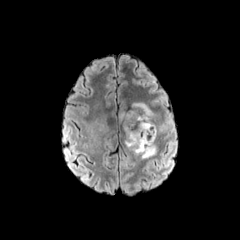
FLAIR MRI.
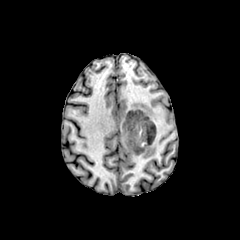
Same slice, T1-weighted MRI.
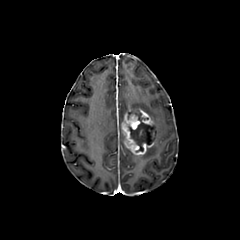
Post-contrast T1-weighted MRI.
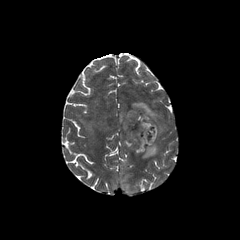
T2-weighted MR image.
240x240 px; Axial slice
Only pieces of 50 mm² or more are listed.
necrotic tumor core: x1=128 y1=111 x2=154 y2=151
enhancing tumor: x1=121 y1=109 x2=155 y2=155
peritumoral edema: x1=155 y1=124 x2=167 y2=137, x1=139 y1=144 x2=156 y2=158, x1=131 y1=102 x2=157 y2=120